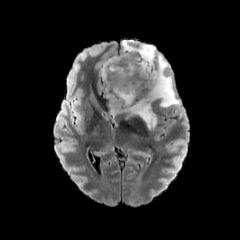
FLAIR MR.
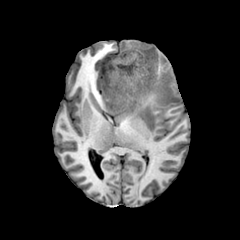
Same slice, T1-weighted MRI.
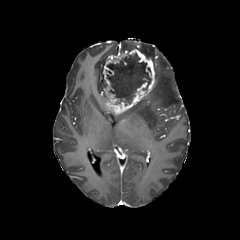
Post-contrast T1-weighted magnetic resonance of the same slice.
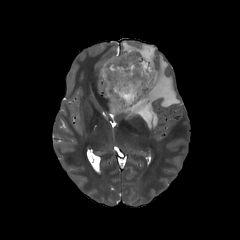
T2-weighted magnetic resonance of the same slice.
Head. Axial plane. Image size 240x240.
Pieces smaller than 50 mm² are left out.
peritumoral edema: [124,54,180,129], [121,40,155,61]
necrotic tumor core: [107,53,150,103]
enhancing tumor: [102,48,155,115]